FLAIR MR image.
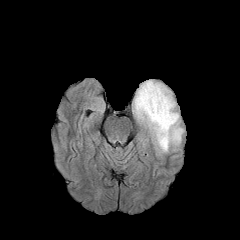
T1-weighted MRI.
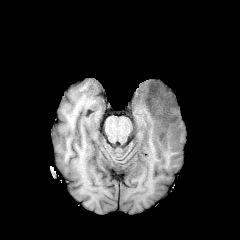
Post-contrast T1-weighted MRI.
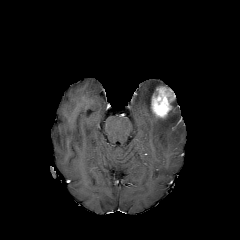
T2-weighted MR image.
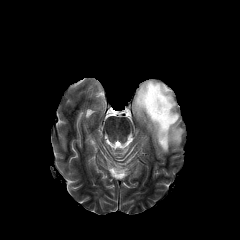
The enhancing tumor lies within region(150, 86, 175, 118). The peritumoral edema is located at region(133, 80, 184, 153).